Slice index 87, Image width 240 mm, Axial plane
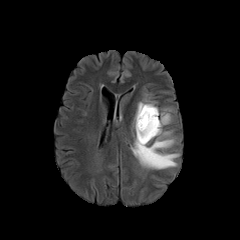
FLAIR MRI.
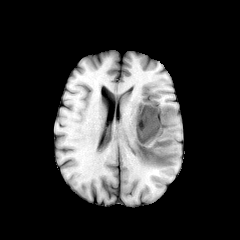
T1-weighted MR of the same slice.
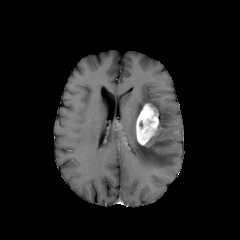
Post-contrast T1-weighted magnetic resonance.
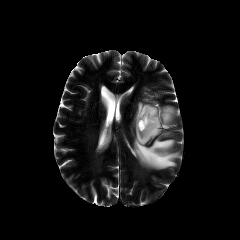
T2-weighted MRI.
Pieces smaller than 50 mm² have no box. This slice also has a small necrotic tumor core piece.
The peritumoral edema is bounded by 131,100,179,169. The enhancing tumor is at 136,103,159,145.